Image size 240x240 | Head | Image width 240 mm
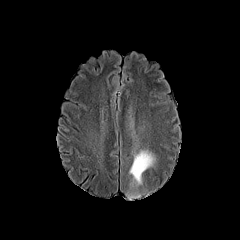
FLAIR MRI.
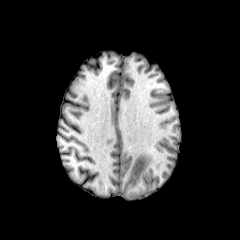
T1-weighted MR.
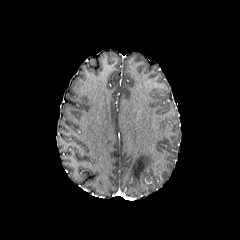
Post-contrast T1-weighted MR image of the same slice.
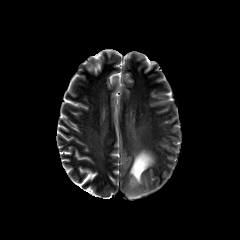
T2-weighted MR.
peritumoral edema: bounding box l=129, t=150, r=155, b=185